FLAIR MR image.
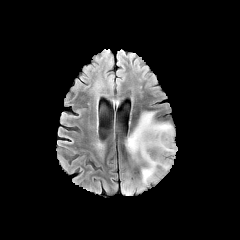
T1-weighted MR image.
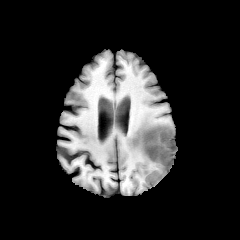
Post-contrast T1-weighted magnetic resonance.
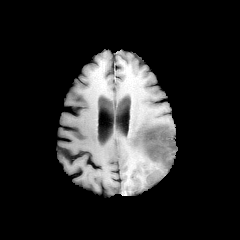
T2-weighted MR.
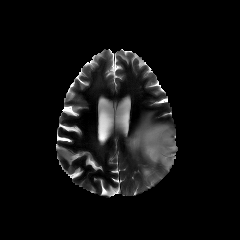
Axial slice | Image size 240x240
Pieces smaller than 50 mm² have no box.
The largest peritumoral edema region lies within bbox=[126, 112, 176, 185]. The necrotic tumor core appears at bbox=[143, 129, 174, 164]. The enhancing tumor is at bbox=[139, 128, 176, 165].